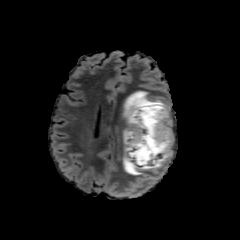
FLAIR MR.
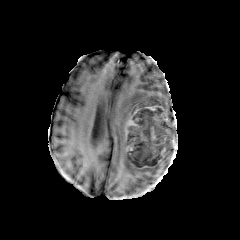
Same slice, T1-weighted MR.
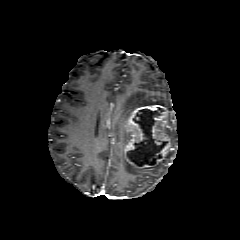
Same slice, post-contrast T1-weighted MRI.
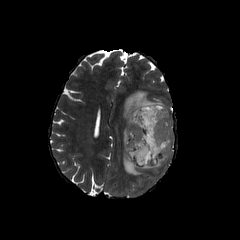
T2-weighted magnetic resonance of the same slice.
Head | Axial view
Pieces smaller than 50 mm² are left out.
necrotic tumor core = [x1=126, y1=107, x2=168, y2=165]
enhancing tumor = [x1=125, y1=104, x2=173, y2=168]
peritumoral edema = [x1=123, y1=91, x2=168, y2=124], [x1=123, y1=129, x2=162, y2=178]